FLAIR magnetic resonance.
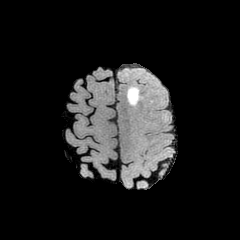
T1-weighted MR image.
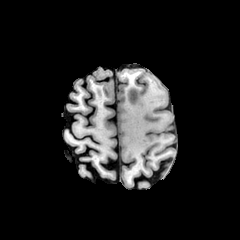
Post-contrast T1-weighted MRI.
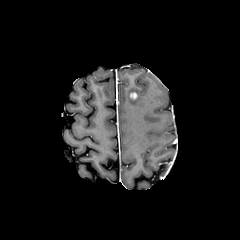
T2-weighted magnetic resonance.
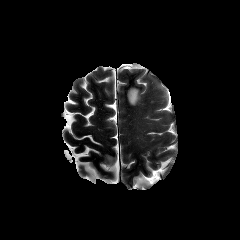
Axial view
The enhancing tumor is at rect(130, 92, 137, 99). The peritumoral edema lies within rect(127, 87, 141, 105).